Axial view.
FLAIR MR image.
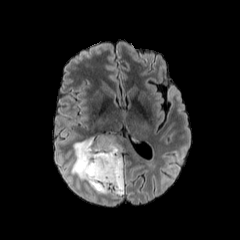
T1-weighted MR image.
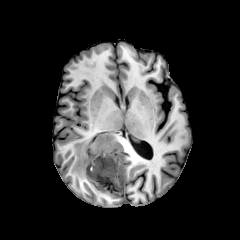
Post-contrast T1-weighted MRI.
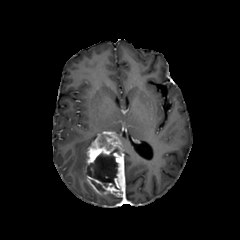
T2-weighted MRI.
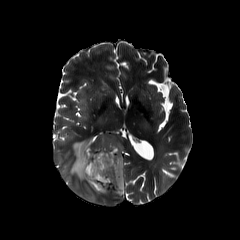
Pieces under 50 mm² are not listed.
• enhancing tumor: 84, 132, 125, 196
• peritumoral edema: 71, 138, 94, 180
• necrotic tumor core: 91, 180, 104, 191; 87, 148, 118, 189